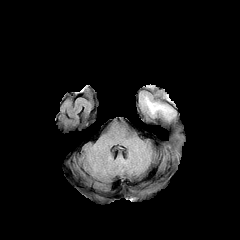
FLAIR MR.
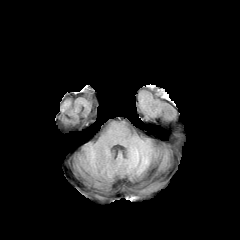
Same slice, T1-weighted magnetic resonance.
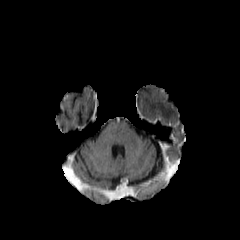
Post-contrast T1-weighted MR image.
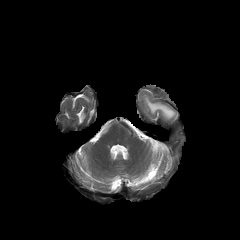
Same slice, T2-weighted MRI.
Brain; 240x240; Axial plane
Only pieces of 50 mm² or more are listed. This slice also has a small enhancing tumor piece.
The peritumoral edema is at 141:94:176:119.